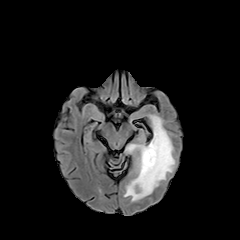
FLAIR MR image.
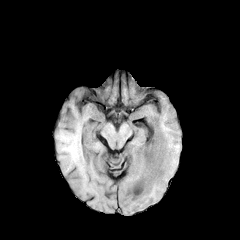
T1-weighted MR of the same slice.
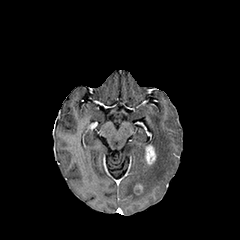
Post-contrast T1-weighted MR.
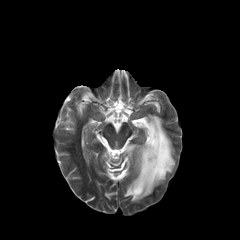
T2-weighted MRI.
Head. 240x240.
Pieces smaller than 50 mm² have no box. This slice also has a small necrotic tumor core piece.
Annotated regions:
- peritumoral edema: {"x1": 124, "y1": 115, "x2": 175, "y2": 201}
- enhancing tumor: {"x1": 135, "y1": 184, "x2": 142, "y2": 194}, {"x1": 145, "y1": 144, "x2": 156, "y2": 165}